FLAIR MR.
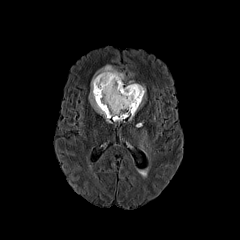
T1-weighted MR.
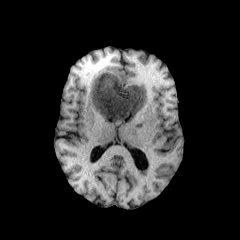
Post-contrast T1-weighted MR image.
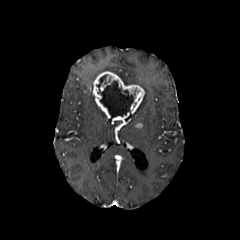
T2-weighted MR image.
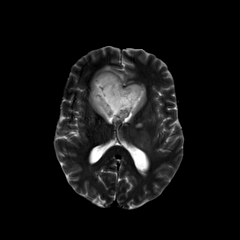
Head, Image size 240x240
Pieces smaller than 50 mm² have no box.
necrotic tumor core — left=97, top=75, right=133, bottom=118
enhancing tumor — left=92, top=71, right=144, bottom=120
peritumoral edema — left=126, top=80, right=145, bottom=109; left=140, top=132, right=146, bottom=147; left=88, top=65, right=125, bottom=120